Brain; Axial slice; 240x240; Image covers 240 mm x 240 mm
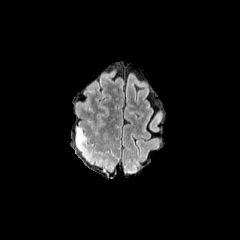
FLAIR MR.
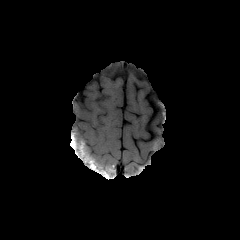
T1-weighted MRI of the same slice.
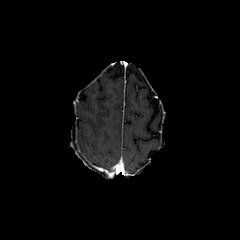
Post-contrast T1-weighted MRI.
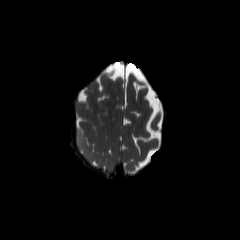
Same slice, T2-weighted MRI.
The peritumoral edema lies within box=[75, 128, 87, 155].